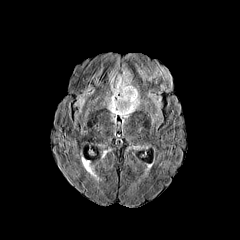
FLAIR MRI.
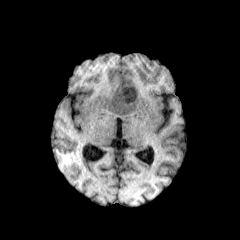
T1-weighted MRI of the same slice.
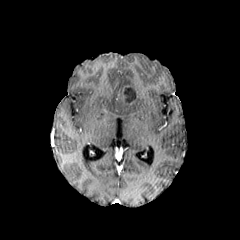
Post-contrast T1-weighted MR.
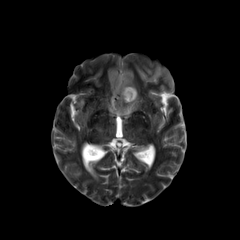
Same slice, T2-weighted MR.
peritumoral_edema:
  - 107:69:139:122
enhancing_tumor:
  - 120:84:139:104
necrotic_tumor_core:
  - 124:87:135:102